240x240; Slice 104 of 155; Brain
FLAIR MR.
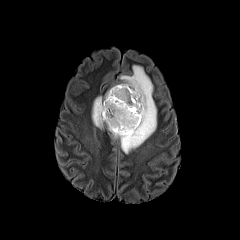
T1-weighted MRI.
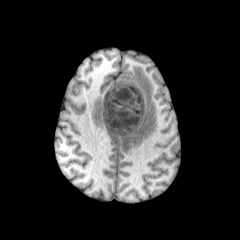
Post-contrast T1-weighted MRI.
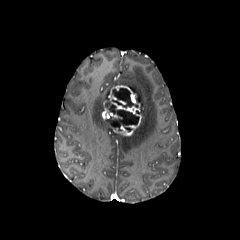
T2-weighted MR image.
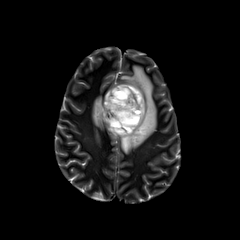
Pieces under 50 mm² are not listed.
The 2 largest enhancing tumor regions are bounded by [102,100,121,119], [108,85,141,135]. The largest peritumoral edema region appears at [92,65,156,153]. The 2 largest necrotic tumor core regions appear at [112,88,138,107], [105,97,139,131].